FLAIR MRI.
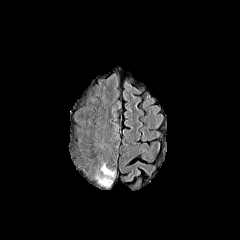
T1-weighted MR.
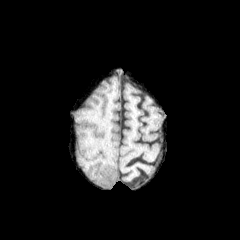
Post-contrast T1-weighted MRI.
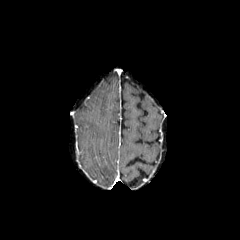
T2-weighted magnetic resonance.
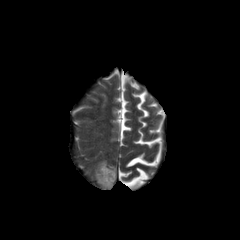
Image size 240x240. Brain.
peritumoral edema = left=95, top=162, right=116, bottom=188